FLAIR MR.
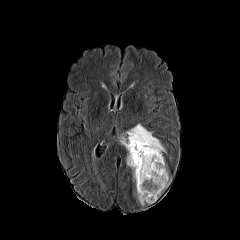
T1-weighted MR.
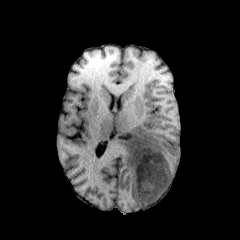
Post-contrast T1-weighted MR image.
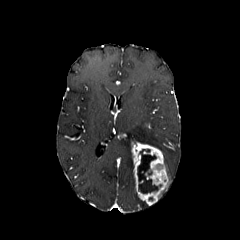
T2-weighted magnetic resonance.
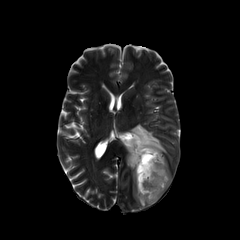
240x240 px, Axial plane
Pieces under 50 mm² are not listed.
The enhancing tumor appears at 131,141,170,205. The 2 largest peritumoral edema regions appear at 126,150,133,169; 127,124,166,152. The largest necrotic tumor core region is located at 137,149,158,193.